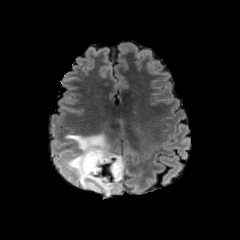
FLAIR magnetic resonance.
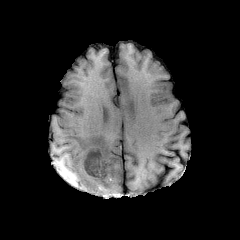
Same slice, T1-weighted MR.
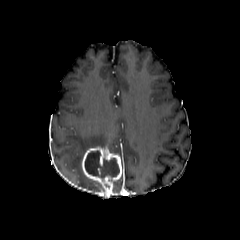
Post-contrast T1-weighted magnetic resonance of the same slice.
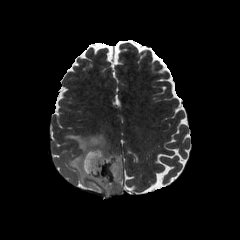
Same slice, T2-weighted MR image.
Axial plane, Brain
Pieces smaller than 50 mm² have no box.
peritumoral_edema:
  - region(64, 133, 111, 191)
  - region(113, 175, 123, 190)
necrotic_tumor_core:
  - region(85, 150, 119, 178)
enhancing_tumor:
  - region(81, 146, 123, 193)